Axial view. Image covers 240 mm x 240 mm.
FLAIR MRI.
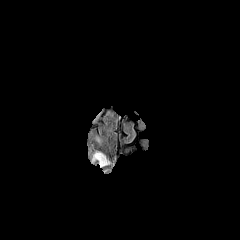
T1-weighted MRI.
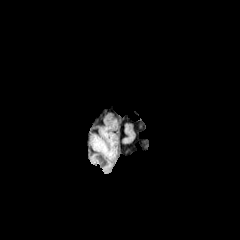
Post-contrast T1-weighted magnetic resonance.
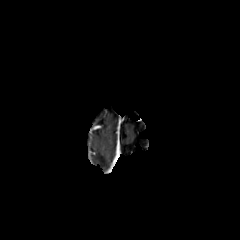
T2-weighted MR image.
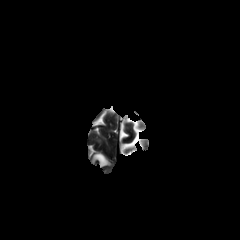
Segmented structures:
- peritumoral edema: x1=93 y1=153 x2=108 y2=166